FLAIR MR image.
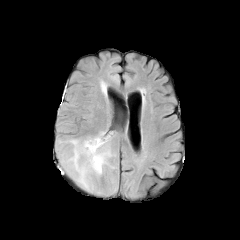
T1-weighted magnetic resonance.
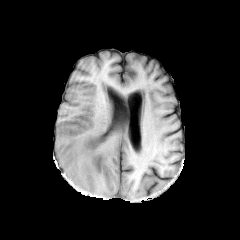
Post-contrast T1-weighted magnetic resonance.
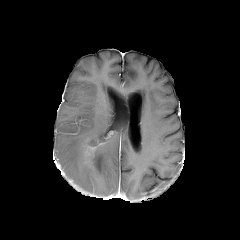
T2-weighted MR.
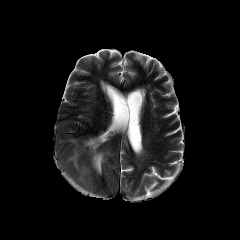
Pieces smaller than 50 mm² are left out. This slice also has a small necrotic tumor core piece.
{"enhancing_tumor": ["left=85, top=138, right=101, bottom=155"], "peritumoral_edema": ["left=68, top=139, right=110, bottom=187", "left=95, top=134, right=107, bottom=144"]}